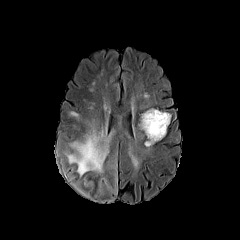
FLAIR MR image.
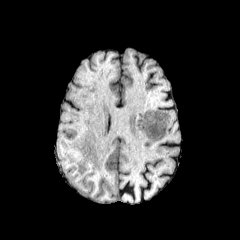
Same slice, T1-weighted MR image.
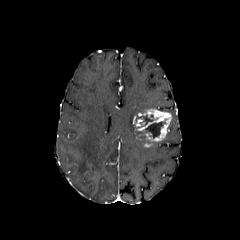
Post-contrast T1-weighted MR of the same slice.
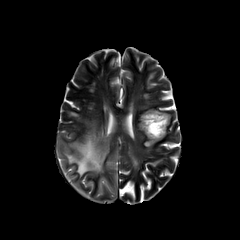
T2-weighted magnetic resonance of the same slice.
Brain; Axial view
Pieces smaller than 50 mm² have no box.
enhancing tumor — x1=136 y1=108 x2=171 y2=147
peritumoral edema — x1=84 y1=177 x2=95 y2=188, x1=129 y1=152 x2=138 y2=168, x1=96 y1=156 x2=117 y2=198, x1=75 y1=180 x2=89 y2=195, x1=65 y1=125 x2=111 y2=176, x1=66 y1=166 x2=75 y2=180
necrotic tumor core — x1=145 y1=121 x2=165 y2=137, x1=141 y1=115 x2=153 y2=125